Axial slice
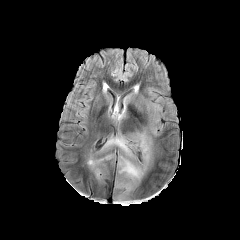
FLAIR MR.
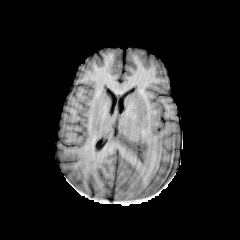
Same slice, T1-weighted MR.
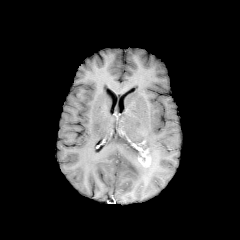
Post-contrast T1-weighted magnetic resonance of the same slice.
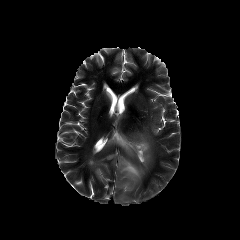
Same slice, T2-weighted MRI.
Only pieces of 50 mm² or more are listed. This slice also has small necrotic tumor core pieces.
{"peritumoral_edema": ["[104, 132, 151, 190]", "[88, 155, 113, 166]"], "enhancing_tumor": ["[132, 144, 150, 166]"]}